240x240 px; Brain; Slice 99 of 155; Axial plane; Image width 240 mm
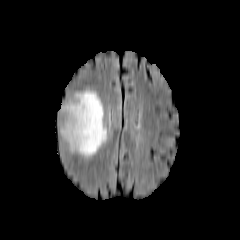
FLAIR MR image.
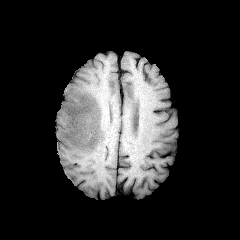
T1-weighted MR image.
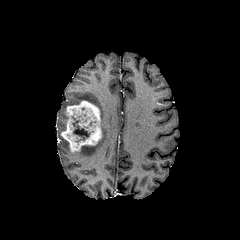
Post-contrast T1-weighted magnetic resonance of the same slice.
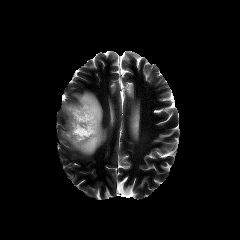
T2-weighted magnetic resonance of the same slice.
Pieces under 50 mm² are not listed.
necrotic_tumor_core:
  - 72:120:89:140
enhancing_tumor:
  - 61:100:102:151
peritumoral_edema:
  - 61:90:107:157